Image width 240 mm | Head | Axial slice | 240x240 px
FLAIR MR image.
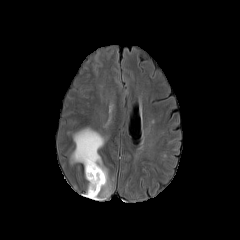
T1-weighted MR.
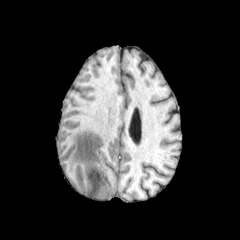
Post-contrast T1-weighted MR.
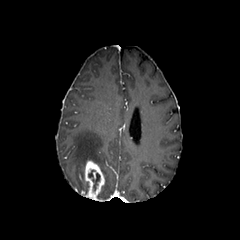
T2-weighted magnetic resonance.
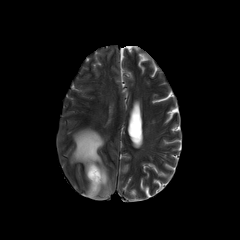
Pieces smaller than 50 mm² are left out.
{"peritumoral_edema": ["box(71, 128, 112, 199)"], "enhancing_tumor": ["box(85, 160, 104, 200)"], "necrotic_tumor_core": ["box(88, 170, 100, 191)"]}